Head | Axial slice
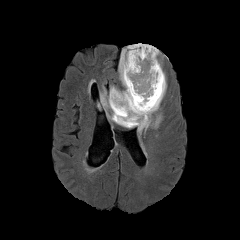
FLAIR magnetic resonance.
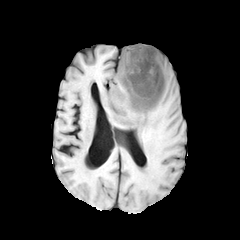
T1-weighted MR image.
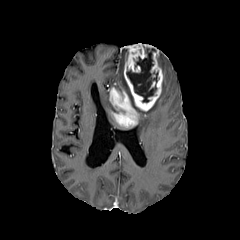
Post-contrast T1-weighted MRI of the same slice.
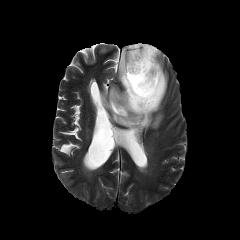
T2-weighted magnetic resonance of the same slice.
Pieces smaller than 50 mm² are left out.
The 3 largest peritumoral edema regions appear at bbox(100, 90, 115, 122); bbox(119, 47, 127, 90); bbox(135, 71, 166, 135). The necrotic tumor core is located at bbox(126, 48, 158, 102). The enhancing tumor is at bbox(109, 43, 163, 127).